FLAIR MR image.
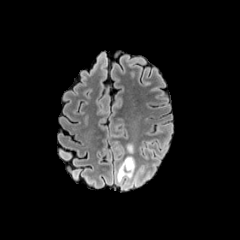
T1-weighted MRI.
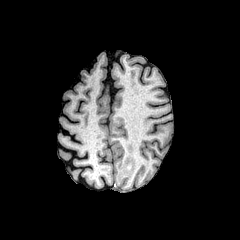
Post-contrast T1-weighted MR image.
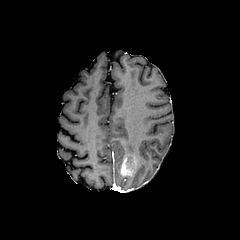
T2-weighted MRI.
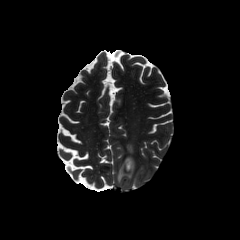
Axial plane. Head. 240x240 px.
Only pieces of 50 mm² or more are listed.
The largest peritumoral edema region appears at 117, 166, 132, 184. The enhancing tumor is located at 120, 156, 134, 176.